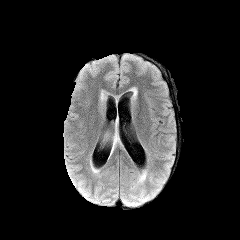
FLAIR magnetic resonance.
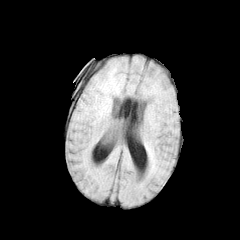
T1-weighted magnetic resonance.
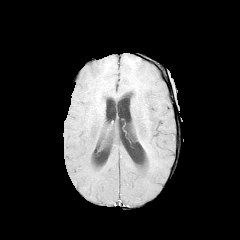
Post-contrast T1-weighted MRI.
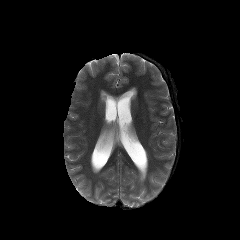
T2-weighted MRI.
Axial view
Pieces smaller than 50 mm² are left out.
peritumoral_edema:
  - bbox=[110, 123, 122, 155]